Axial slice | Image size 240x240
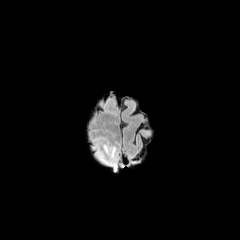
FLAIR MR image.
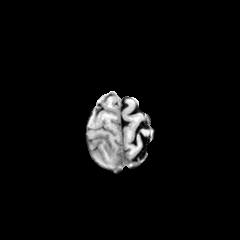
Same slice, T1-weighted magnetic resonance.
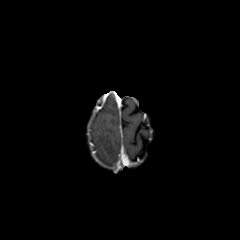
Post-contrast T1-weighted MRI.
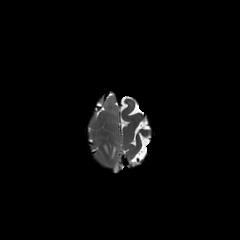
T2-weighted MR image.
Segmented structures:
- peritumoral edema: 103 144 116 158